Axial view
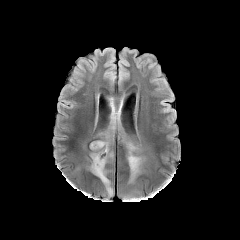
FLAIR MR image.
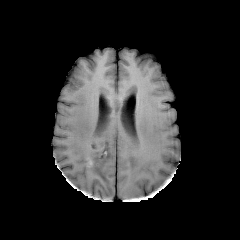
Same slice, T1-weighted magnetic resonance.
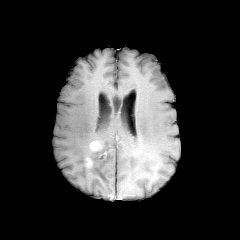
Post-contrast T1-weighted MRI.
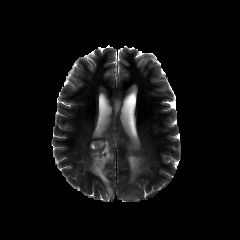
T2-weighted MR.
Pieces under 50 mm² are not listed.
The largest enhancing tumor region is at 90:140:103:151. 3 peritumoral edema regions are bounded by 89:132:113:194, 126:141:144:182, 110:111:118:131.